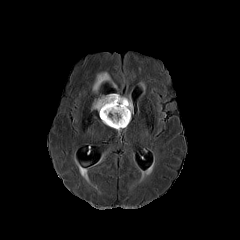
FLAIR MR image.
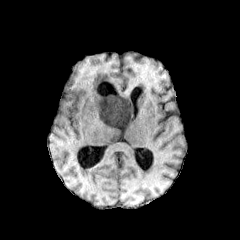
T1-weighted MR image of the same slice.
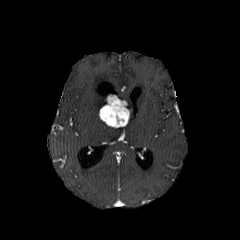
Post-contrast T1-weighted MR image.
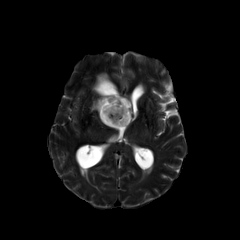
T2-weighted MR.
Axial slice
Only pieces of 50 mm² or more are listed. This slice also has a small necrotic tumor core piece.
peritumoral edema = box(114, 94, 132, 115); box(92, 72, 111, 92); box(92, 95, 107, 111)
enhancing tumor = box(99, 94, 130, 128)